Image size 240x240, Axial plane
FLAIR magnetic resonance.
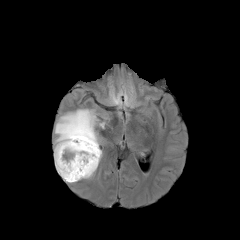
T1-weighted MR.
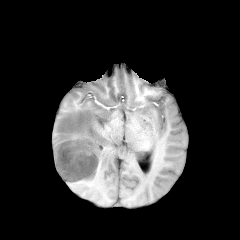
Post-contrast T1-weighted magnetic resonance.
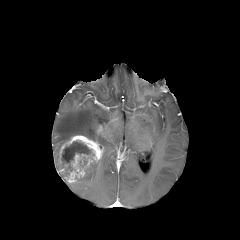
T2-weighted MR.
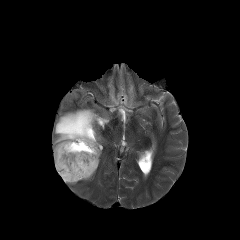
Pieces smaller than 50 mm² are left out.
{
  "peritumoral_edema": [
    "box=[54, 109, 104, 183]",
    "box=[77, 159, 100, 181]"
  ],
  "necrotic_tumor_core": [
    "box=[62, 141, 91, 167]"
  ],
  "enhancing_tumor": [
    "box=[56, 135, 102, 182]"
  ]
}